Image covers 240 mm x 240 mm | Head
FLAIR MRI.
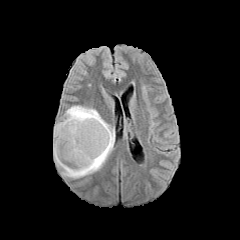
T1-weighted magnetic resonance.
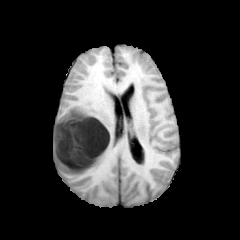
Post-contrast T1-weighted MR.
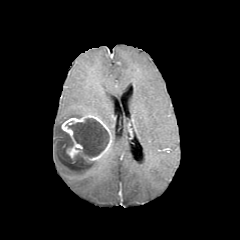
T2-weighted MRI.
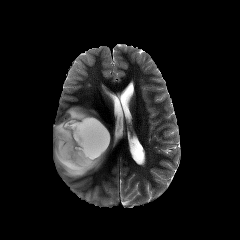
enhancing tumor at box=[61, 114, 111, 163]
necrotic tumor core at box=[63, 149, 72, 160]; box=[66, 118, 109, 156]
peritumoral edema at box=[53, 105, 114, 178]